FLAIR magnetic resonance.
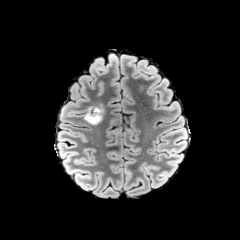
T1-weighted MRI.
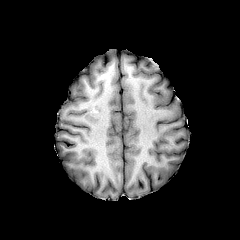
Post-contrast T1-weighted magnetic resonance.
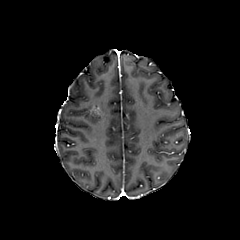
T2-weighted MR.
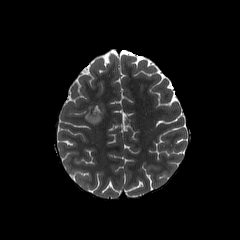
Brain
peritumoral edema = bbox(84, 105, 104, 124)
enhancing tumor = bbox(92, 107, 101, 115)